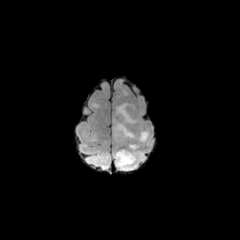
FLAIR MR.
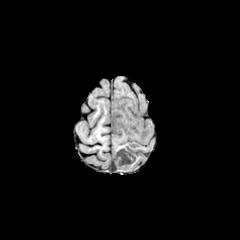
T1-weighted magnetic resonance.
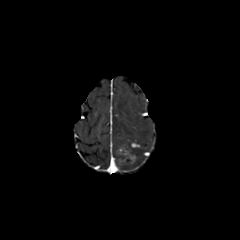
Same slice, post-contrast T1-weighted MRI.
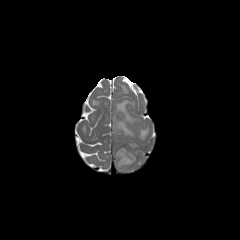
T2-weighted MRI.
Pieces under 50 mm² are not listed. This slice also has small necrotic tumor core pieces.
The 2 largest peritumoral edema regions are located at l=113, t=143, r=143, b=170; l=113, t=102, r=149, b=142. The largest enhancing tumor region is at l=117, t=147, r=136, b=164.